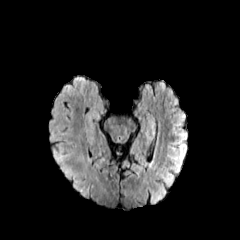
FLAIR magnetic resonance.
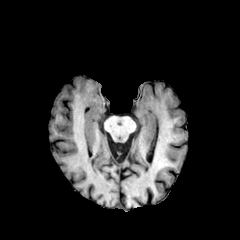
T1-weighted MR image of the same slice.
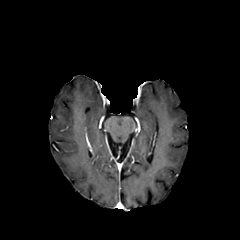
Post-contrast T1-weighted magnetic resonance of the same slice.
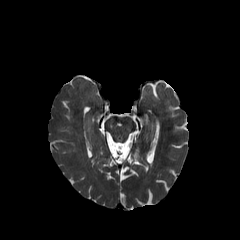
Same slice, T2-weighted MR image.
240x240. Axial slice.
The peritumoral edema appears at region(52, 141, 90, 198).